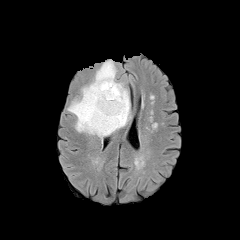
FLAIR magnetic resonance.
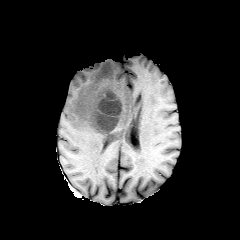
T1-weighted MRI.
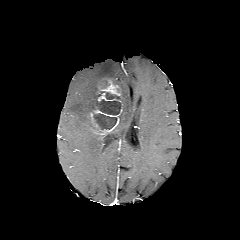
Post-contrast T1-weighted MR.
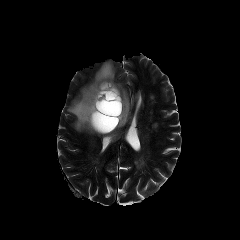
T2-weighted MRI.
Brain, 240x240 px
The peritumoral edema is at (67, 60, 130, 139). The enhancing tumor appears at (89, 80, 122, 134). 3 necrotic tumor core regions appear at (97, 99, 120, 115), (93, 113, 116, 129), (100, 91, 119, 99).